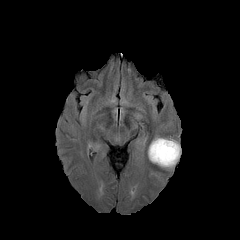
FLAIR MR.
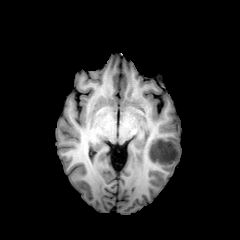
T1-weighted MR.
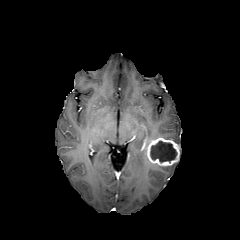
Post-contrast T1-weighted magnetic resonance of the same slice.
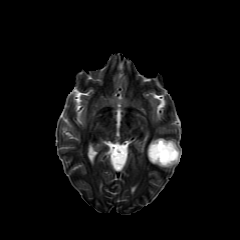
T2-weighted MR.
240x240 px.
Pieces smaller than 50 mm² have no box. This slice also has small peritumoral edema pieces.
{
  "enhancing_tumor": [
    "bbox(147, 138, 180, 166)"
  ],
  "necrotic_tumor_core": [
    "bbox(150, 141, 177, 162)"
  ]
}